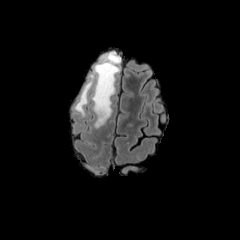
FLAIR magnetic resonance.
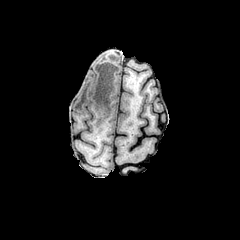
T1-weighted MRI.
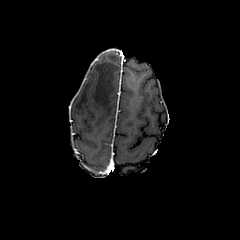
Same slice, post-contrast T1-weighted MRI.
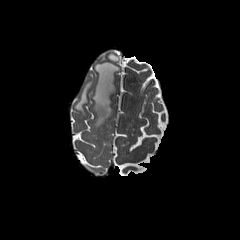
T2-weighted MR image.
Brain.
Findings:
• peritumoral edema: 92:51:120:127, 75:74:93:115